FLAIR magnetic resonance.
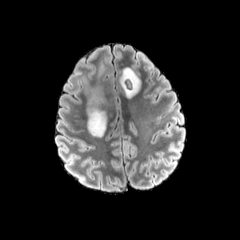
T1-weighted magnetic resonance.
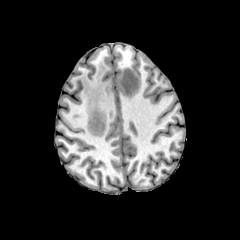
Post-contrast T1-weighted magnetic resonance.
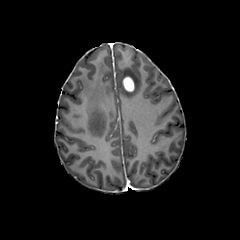
T2-weighted MRI.
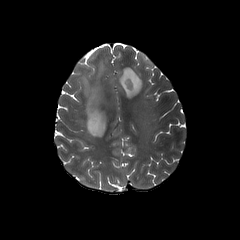
Axial slice.
2 peritumoral edema regions appear at l=80, t=57, r=108, b=136; l=119, t=65, r=142, b=98. The enhancing tumor is bounded by l=122, t=76, r=134, b=91. The necrotic tumor core is located at l=125, t=78, r=131, b=90.